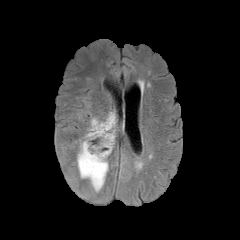
FLAIR MR image.
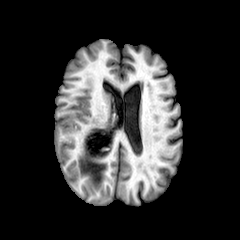
Same slice, T1-weighted MR image.
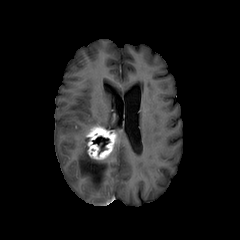
Same slice, post-contrast T1-weighted MRI.
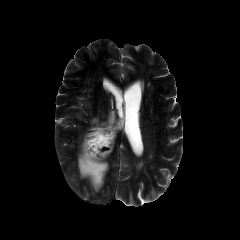
T2-weighted MR of the same slice.
240x240 px, Axial slice
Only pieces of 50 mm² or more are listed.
The 2 largest peritumoral edema regions are located at bbox=[77, 134, 108, 192]; bbox=[90, 112, 116, 130]. The necrotic tumor core is located at bbox=[92, 136, 109, 153]. The enhancing tumor lies within bbox=[86, 125, 116, 160].